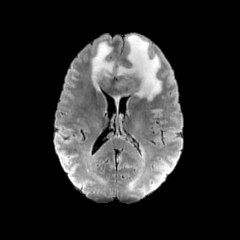
FLAIR MRI.
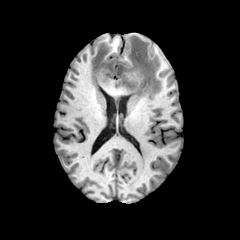
T1-weighted MR image of the same slice.
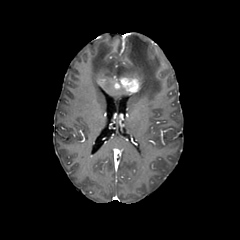
Post-contrast T1-weighted MR image of the same slice.
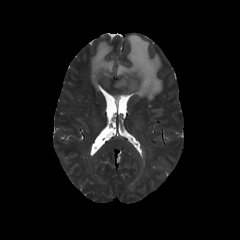
T2-weighted MRI of the same slice.
Head
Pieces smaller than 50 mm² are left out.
peritumoral edema: l=152, t=110, r=163, b=116; l=116, t=34, r=161, b=99; l=91, t=42, r=114, b=90
enhancing tumor: l=113, t=76, r=140, b=93; l=98, t=77, r=106, b=85